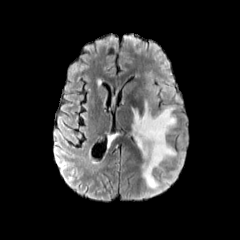
FLAIR magnetic resonance.
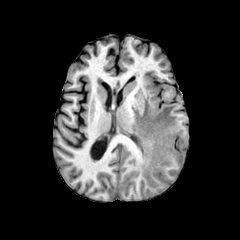
T1-weighted MR of the same slice.
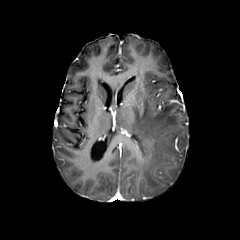
Post-contrast T1-weighted MR.
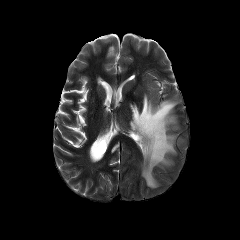
T2-weighted magnetic resonance.
240x240 px; Brain
The peritumoral edema is located at left=131, top=101, right=177, bottom=188.